FLAIR MR.
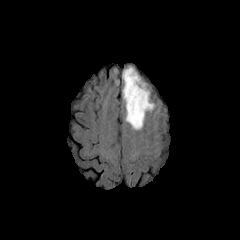
T1-weighted MR image.
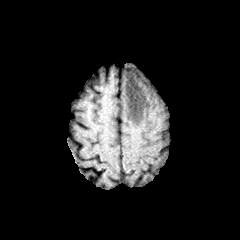
Post-contrast T1-weighted MR.
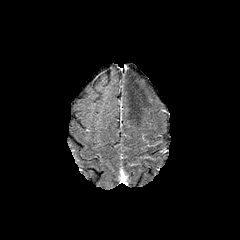
T2-weighted MRI.
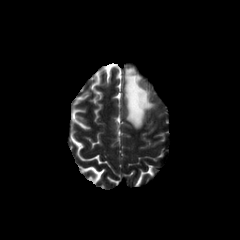
{
  "peritumoral_edema": [
    "123:67:154:129"
  ]
}